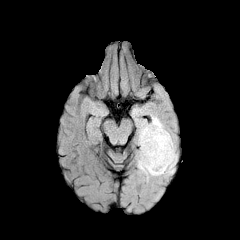
FLAIR magnetic resonance.
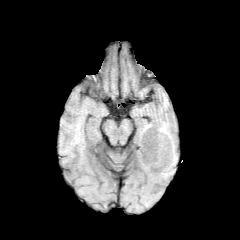
T1-weighted MRI.
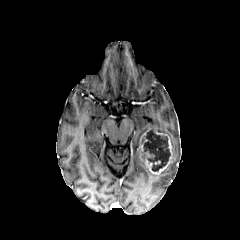
Same slice, post-contrast T1-weighted magnetic resonance.
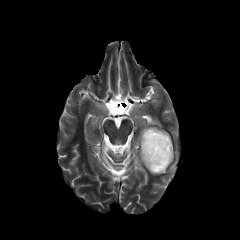
T2-weighted MR image.
Axial slice | 240x240 px
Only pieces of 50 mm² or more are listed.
The largest enhancing tumor region is bounded by box=[140, 128, 172, 174]. The peritumoral edema is at box=[136, 116, 177, 179]. The necrotic tumor core is bounded by box=[144, 128, 170, 171].